FLAIR MRI.
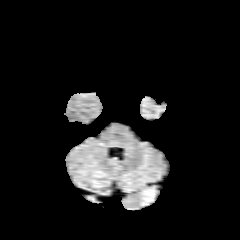
T1-weighted magnetic resonance.
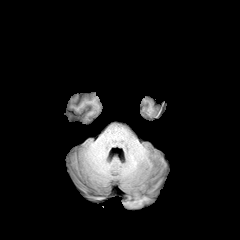
Post-contrast T1-weighted MR image.
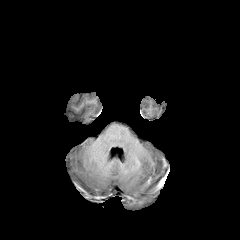
T2-weighted MRI.
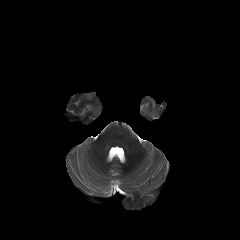
The peritumoral edema lies within <box>143,188,154,202</box>.